FLAIR MRI.
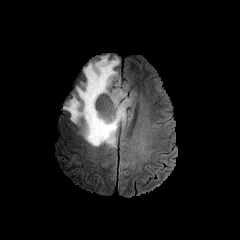
T1-weighted magnetic resonance.
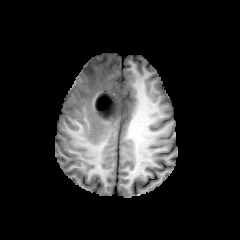
Post-contrast T1-weighted MR.
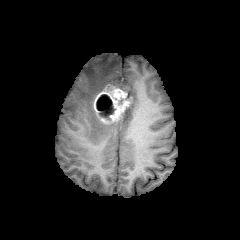
T2-weighted MR.
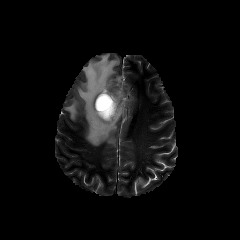
Brain.
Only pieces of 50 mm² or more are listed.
{"enhancing_tumor": ["rect(93, 84, 131, 123)"], "necrotic_tumor_core": ["rect(96, 94, 115, 119)"], "peritumoral_edema": ["rect(63, 54, 126, 146)"]}